Slice 90 of 155, Brain, Axial plane, Image size 240x240
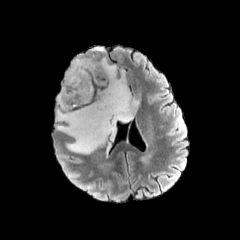
FLAIR magnetic resonance.
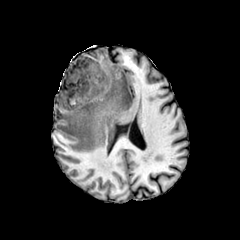
T1-weighted magnetic resonance.
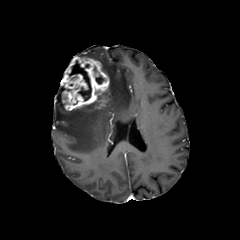
Post-contrast T1-weighted MRI.
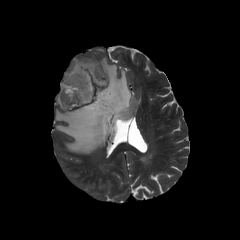
T2-weighted MR of the same slice.
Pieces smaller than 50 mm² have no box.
enhancing_tumor:
  - {"x1": 60, "y1": 56, "x2": 109, "y2": 110}
  - {"x1": 98, "y1": 99, "x2": 107, "y2": 108}
necrotic_tumor_core:
  - {"x1": 69, "y1": 60, "x2": 91, "y2": 100}
  - {"x1": 95, "y1": 76, "x2": 104, "y2": 84}
peritumoral_edema:
  - {"x1": 56, "y1": 57, "x2": 138, "y2": 153}